240x240 px | Image covers 240 mm x 240 mm | Axial view | Slice 58 of 155
FLAIR MR.
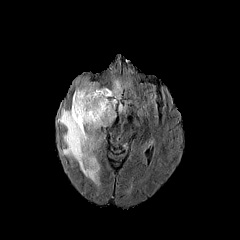
T1-weighted magnetic resonance.
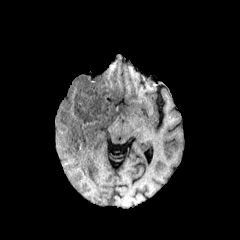
Post-contrast T1-weighted magnetic resonance.
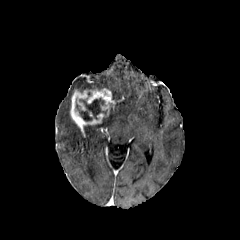
T2-weighted MRI.
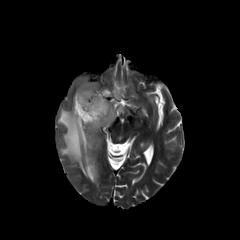
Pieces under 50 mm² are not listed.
enhancing tumor — (x1=70, y1=88, x2=115, y2=135)
peritumoral edema — (x1=76, y1=80, x2=100, y2=91), (x1=110, y1=80, x2=122, y2=103), (x1=57, y1=107, x2=116, y2=184), (x1=118, y1=103, x2=125, y2=112)
necrotic tumor core — (x1=76, y1=98, x2=106, y2=121)